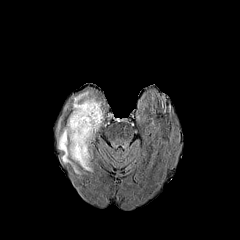
FLAIR MRI.
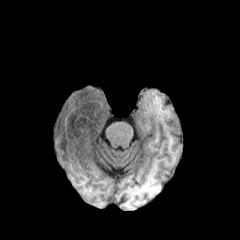
T1-weighted MRI.
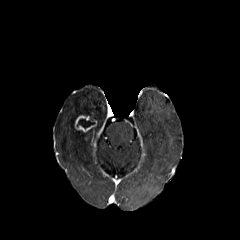
Same slice, post-contrast T1-weighted MR.
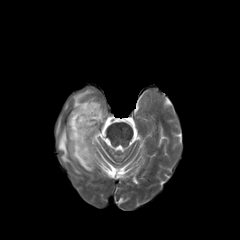
T2-weighted MR.
Axial view. Brain.
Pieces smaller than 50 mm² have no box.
necrotic tumor core: 77, 118, 95, 128 | peritumoral edema: 58, 91, 103, 174 | enhancing tumor: 74, 115, 97, 132